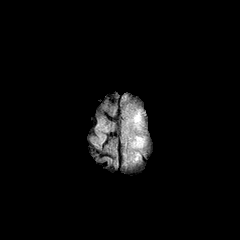
FLAIR MR image.
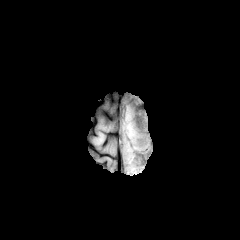
T1-weighted MR image.
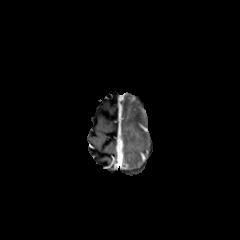
Post-contrast T1-weighted MRI.
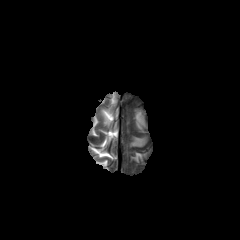
T2-weighted MR of the same slice.
Axial slice
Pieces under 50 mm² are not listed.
peritumoral edema: 135,112,141,127; 132,137,144,146